Head; Image covers 240 mm x 240 mm
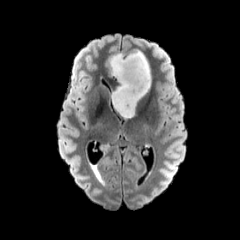
FLAIR MR image.
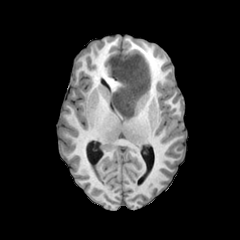
T1-weighted magnetic resonance.
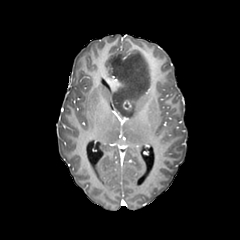
Post-contrast T1-weighted MR image.
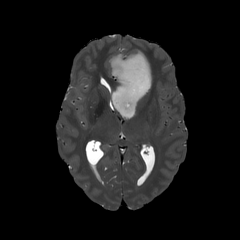
Same slice, T2-weighted MR.
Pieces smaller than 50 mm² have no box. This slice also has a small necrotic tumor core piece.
{"peritumoral_edema": ["box(108, 50, 150, 118)"], "enhancing_tumor": ["box(123, 100, 131, 110)"]}